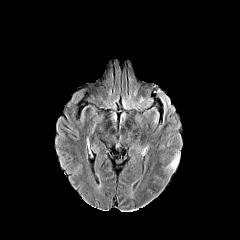
FLAIR magnetic resonance.
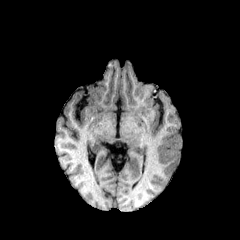
T1-weighted MRI.
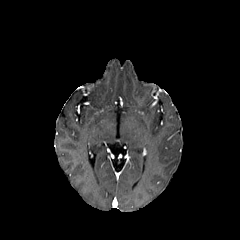
Post-contrast T1-weighted magnetic resonance of the same slice.
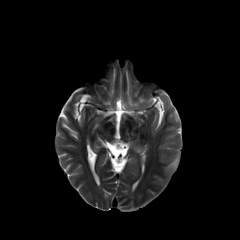
T2-weighted MRI of the same slice.
Axial plane, Brain
peritumoral edema: bounding box (x1=168, y1=155, x2=178, y2=170)